FLAIR MR image.
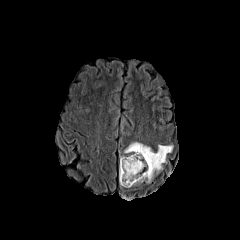
T1-weighted MR.
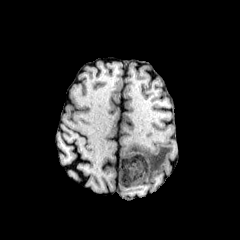
Post-contrast T1-weighted MRI.
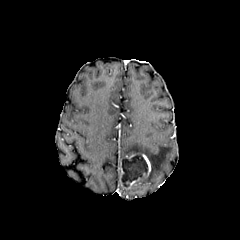
T2-weighted MR.
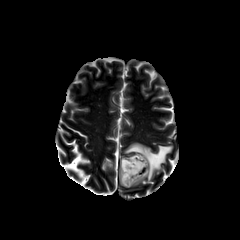
240x240 px
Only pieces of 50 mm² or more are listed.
The necrotic tumor core is at [121,155,147,186]. The enhancing tumor is bounded by [119,153,151,188]. The largest peritumoral edema region is at [124,142,173,182].